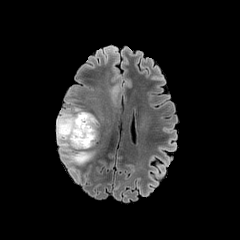
FLAIR magnetic resonance.
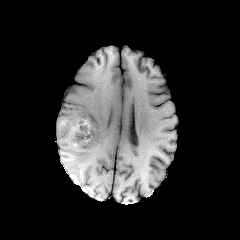
T1-weighted MR image.
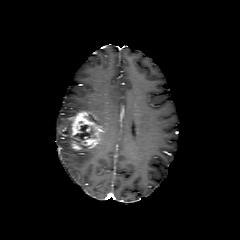
Same slice, post-contrast T1-weighted MR image.
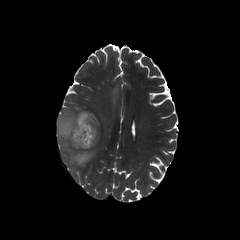
T2-weighted magnetic resonance.
Head | 240x240 | Axial slice
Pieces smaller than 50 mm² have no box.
enhancing tumor = [69, 111, 101, 149]
peritumoral edema = [56, 107, 94, 165]
necrotic tumor core = [73, 125, 90, 140]